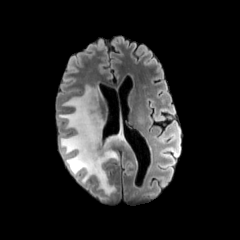
FLAIR MR image.
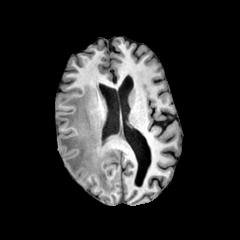
T1-weighted magnetic resonance of the same slice.
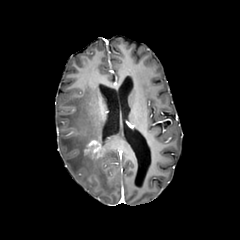
Same slice, post-contrast T1-weighted MR image.
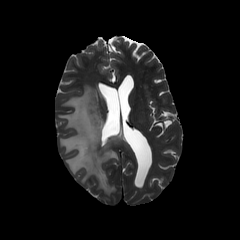
T2-weighted magnetic resonance.
The peritumoral edema is bounded by (58, 85, 129, 195). The enhancing tumor is located at (84, 139, 101, 157).